FLAIR magnetic resonance.
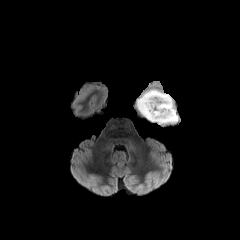
T1-weighted MR image.
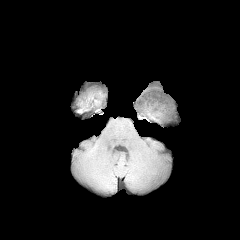
Post-contrast T1-weighted MR.
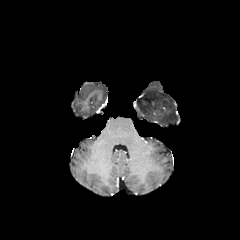
T2-weighted MRI.
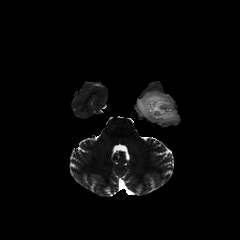
Segmented structures:
* peritumoral edema: bbox(137, 89, 178, 124)